FLAIR magnetic resonance.
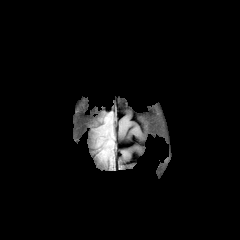
T1-weighted MR image.
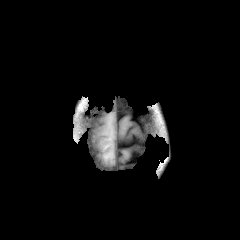
Post-contrast T1-weighted MR image.
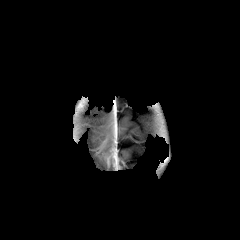
T2-weighted magnetic resonance.
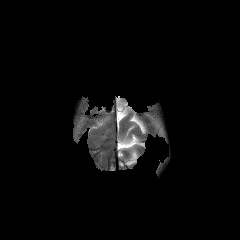
Brain
peritumoral edema: box=[92, 106, 113, 125]